FLAIR MRI.
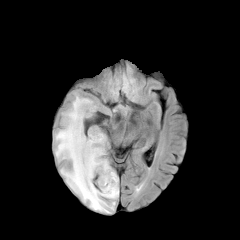
T1-weighted MR image.
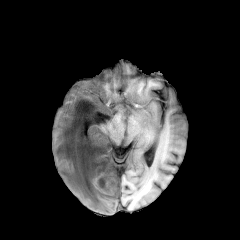
Post-contrast T1-weighted MRI.
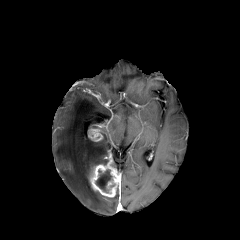
T2-weighted MR.
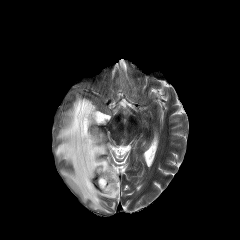
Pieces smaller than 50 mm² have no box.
enhancing tumor at left=88, top=125, right=103, bottom=141; left=88, top=150, right=120, bottom=197
necrotic tumor core at left=96, top=170, right=111, bottom=191
peritumoral edema at left=54, top=93, right=119, bottom=213